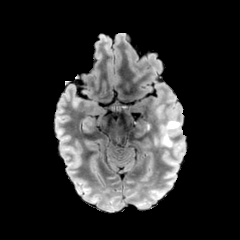
FLAIR magnetic resonance.
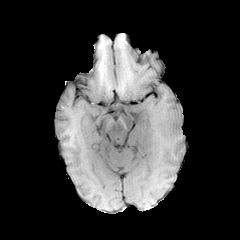
T1-weighted MRI of the same slice.
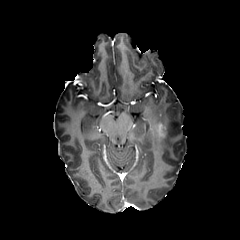
Post-contrast T1-weighted MR of the same slice.
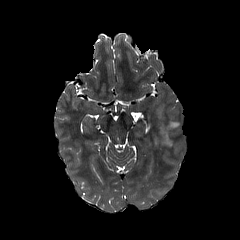
T2-weighted MR.
Axial view | Image size 240x240
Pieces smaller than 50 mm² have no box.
enhancing tumor: bbox(158, 123, 165, 137) | peritumoral edema: bbox(156, 119, 180, 147)